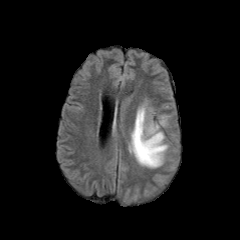
FLAIR magnetic resonance.
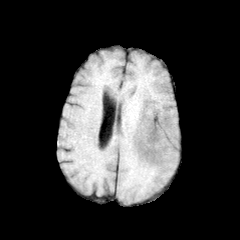
T1-weighted magnetic resonance.
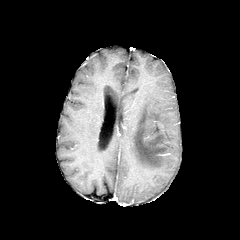
Post-contrast T1-weighted MRI of the same slice.
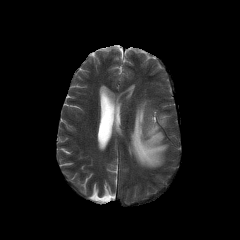
T2-weighted MR.
Brain. Axial plane.
peritumoral_edema:
  - box(129, 102, 169, 168)